FLAIR MR image.
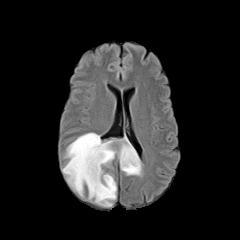
T1-weighted MR image.
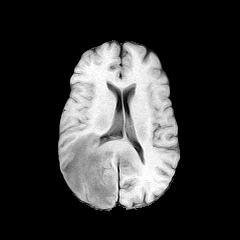
Post-contrast T1-weighted MRI.
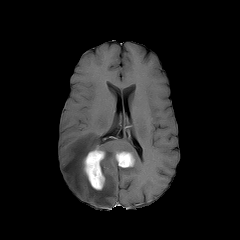
T2-weighted MR image.
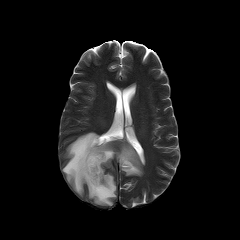
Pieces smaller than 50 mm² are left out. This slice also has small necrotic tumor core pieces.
The peritumoral edema lies within {"x1": 62, "y1": 132, "x2": 141, "y2": 206}. 2 enhancing tumor regions are located at {"x1": 83, "y1": 145, "x2": 105, "y2": 190}, {"x1": 115, "y1": 151, "x2": 135, "y2": 167}.